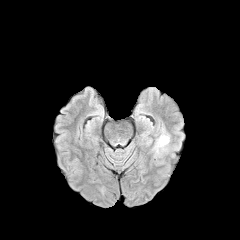
FLAIR MR image.
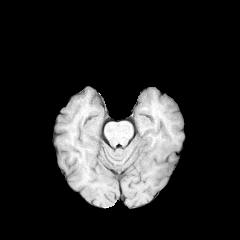
T1-weighted MRI of the same slice.
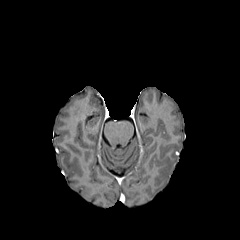
Post-contrast T1-weighted magnetic resonance.
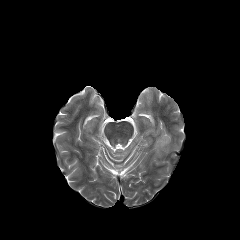
Same slice, T2-weighted MR image.
Brain | Axial slice | 240x240
peritumoral_edema:
  - 156,134,169,152